Image width 240 mm, 1.00 mm slice spacing | Head
FLAIR MRI.
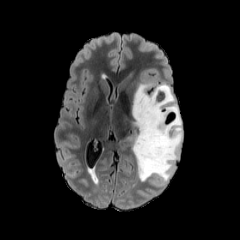
T1-weighted MR.
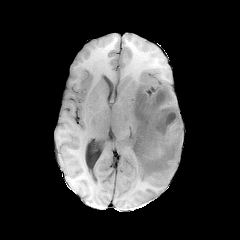
Post-contrast T1-weighted MRI.
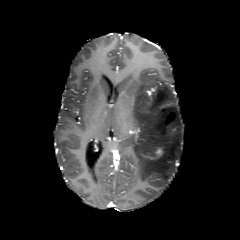
T2-weighted MR image.
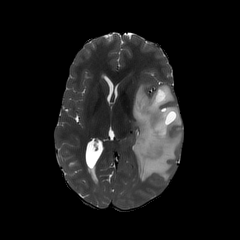
{
  "enhancing_tumor": [
    "rect(141, 148, 163, 159)"
  ],
  "peritumoral_edema": [
    "rect(130, 83, 182, 181)"
  ]
}